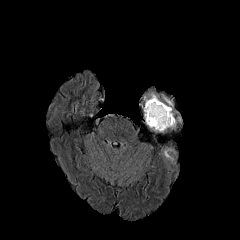
FLAIR MR.
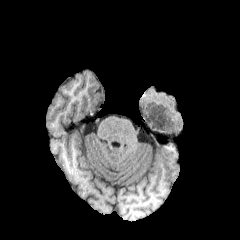
T1-weighted MR.
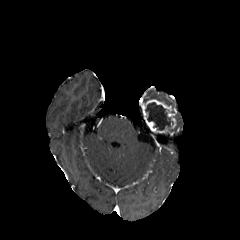
Post-contrast T1-weighted MR of the same slice.
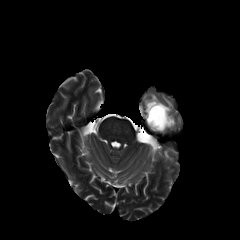
Same slice, T2-weighted MR.
240x240; Head
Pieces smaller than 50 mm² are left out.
{
  "necrotic_tumor_core": [
    "(145, 102, 170, 130)"
  ],
  "enhancing_tumor": [
    "(142, 99, 176, 133)"
  ],
  "peritumoral_edema": [
    "(145, 93, 159, 102)",
    "(163, 96, 172, 108)"
  ]
}